Slice 47 of 155, Axial plane
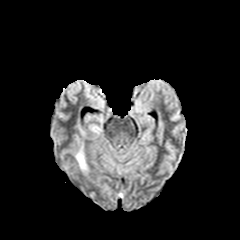
FLAIR MRI.
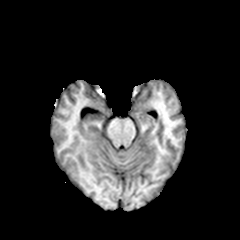
Same slice, T1-weighted MRI.
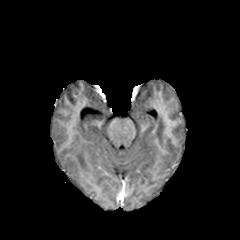
Post-contrast T1-weighted magnetic resonance.
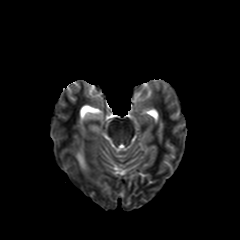
Same slice, T2-weighted MRI.
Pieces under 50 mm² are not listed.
The largest peritumoral edema region appears at <bbox>76, 149, 85, 169</bbox>.